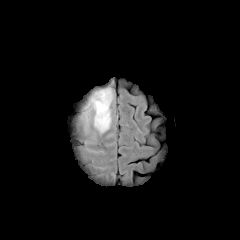
FLAIR MR image.
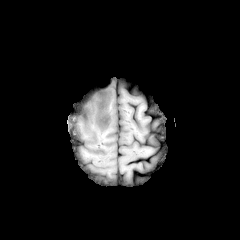
T1-weighted MR image.
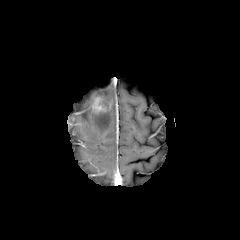
Post-contrast T1-weighted MR image.
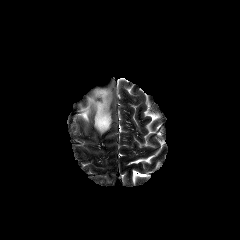
T2-weighted MRI.
Head; Axial plane
The peritumoral edema lies within <box>70,79,117,133</box>. The enhancing tumor is located at <box>92,94,106,112</box>.